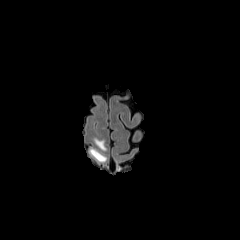
FLAIR MRI.
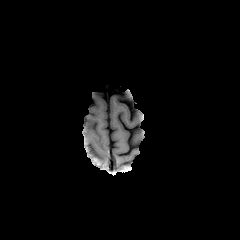
T1-weighted MR.
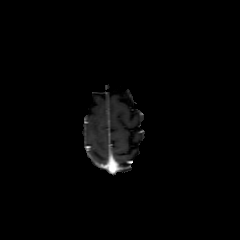
Post-contrast T1-weighted MRI.
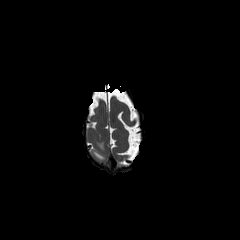
T2-weighted MRI.
Head
Findings:
• peritumoral edema: box=[94, 138, 106, 150]; box=[89, 148, 106, 162]